FLAIR magnetic resonance.
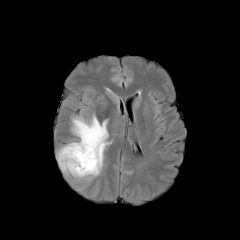
T1-weighted magnetic resonance.
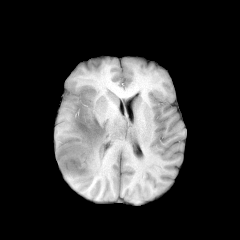
Post-contrast T1-weighted MR image.
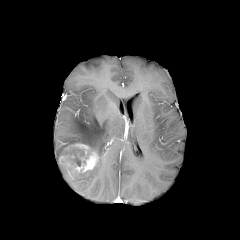
T2-weighted MRI.
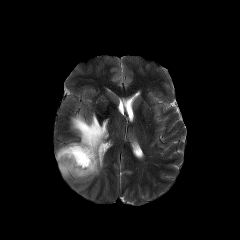
240x240 px. Axial slice. Head.
The peritumoral edema is located at region(56, 114, 108, 180). The enhancing tumor lies within region(59, 143, 98, 175). The necrotic tumor core is at region(63, 148, 87, 166).